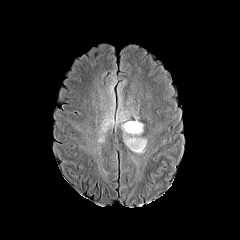
FLAIR MR.
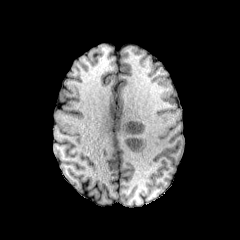
T1-weighted magnetic resonance.
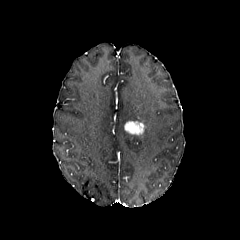
Post-contrast T1-weighted MR.
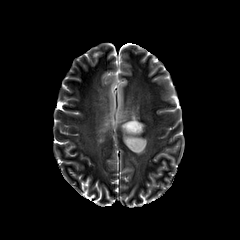
T2-weighted magnetic resonance.
Brain; Axial slice
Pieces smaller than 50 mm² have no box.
enhancing tumor = box=[124, 121, 144, 135]
peritumoral edema = box=[107, 78, 115, 105]; box=[98, 107, 114, 142]; box=[116, 110, 147, 153]